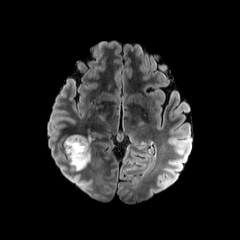
FLAIR MR image.
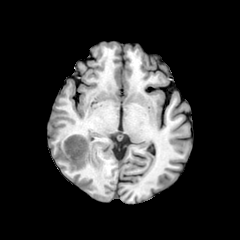
T1-weighted MR image of the same slice.
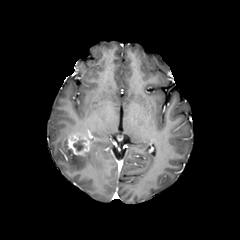
Post-contrast T1-weighted MRI.
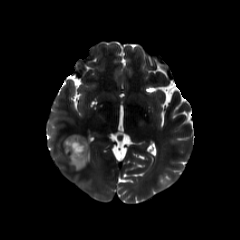
T2-weighted MR image.
Head, 240x240
The peritumoral edema is bounded by {"x1": 64, "y1": 139, "x2": 90, "y2": 170}. The enhancing tumor is located at {"x1": 67, "y1": 134, "x2": 90, "y2": 155}. The necrotic tumor core is bounded by {"x1": 73, "y1": 140, "x2": 85, "y2": 151}.